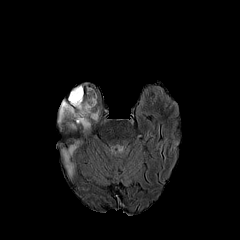
FLAIR magnetic resonance.
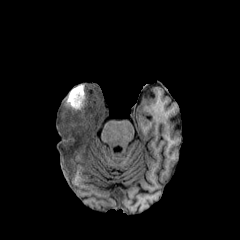
T1-weighted MR of the same slice.
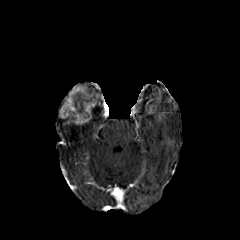
Post-contrast T1-weighted MR.
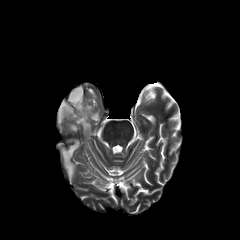
T2-weighted MR image of the same slice.
Axial view | Head
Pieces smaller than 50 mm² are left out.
necrotic_tumor_core:
  - (69,86,91,112)
enhancing_tumor:
  - (59,84,98,124)
peritumoral_edema:
  - (82,121,90,130)
  - (62,141,78,175)